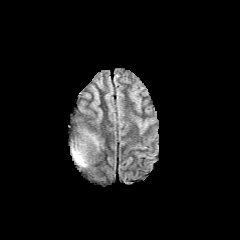
FLAIR MR image.
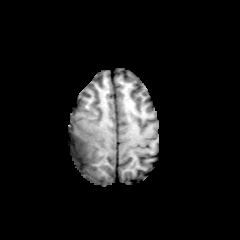
Same slice, T1-weighted MR.
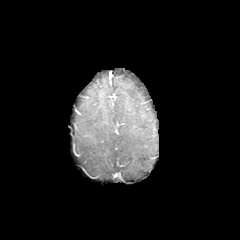
Same slice, post-contrast T1-weighted MR image.
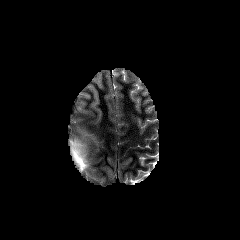
T2-weighted magnetic resonance.
Brain
<segmentation>
  <peritumoral_edema>box=[70, 130, 98, 167]</peritumoral_edema>
</segmentation>